Head; Axial slice; Image width 240 mm, 1.00 mm slice spacing
FLAIR MR.
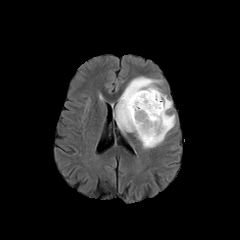
T1-weighted magnetic resonance.
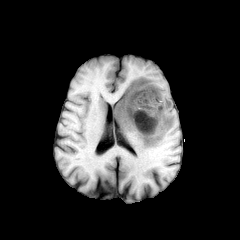
Post-contrast T1-weighted MR image.
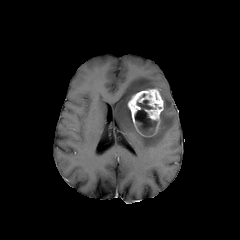
T2-weighted magnetic resonance.
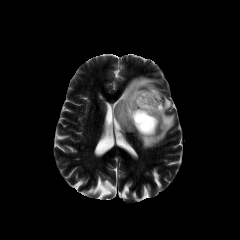
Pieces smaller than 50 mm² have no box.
enhancing tumor: [127,88,163,136]
necrotic tumor core: [135,100,157,134]
peritumoral edema: [114,76,175,148]